Axial slice. Slice index 59.
FLAIR MR image.
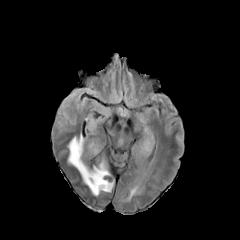
T1-weighted MRI.
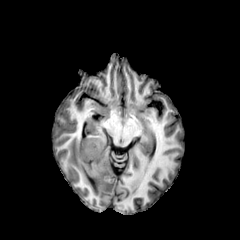
Post-contrast T1-weighted magnetic resonance.
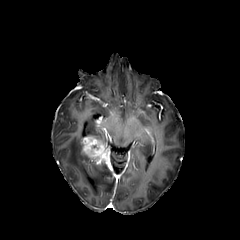
T2-weighted MRI.
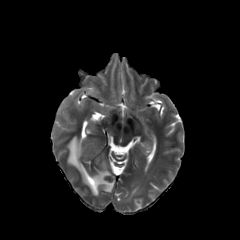
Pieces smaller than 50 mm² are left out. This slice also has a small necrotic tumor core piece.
Segmented structures:
• peritumoral edema: (left=68, top=136, right=113, bottom=195)
• enhancing tumor: (left=81, top=136, right=109, bottom=167)